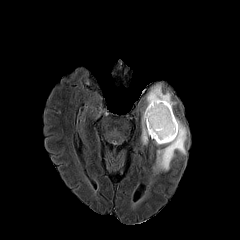
FLAIR MR image.
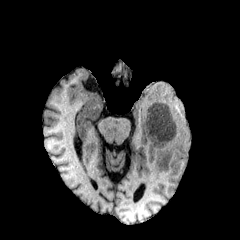
T1-weighted MRI.
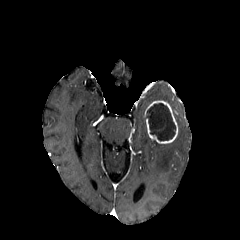
Same slice, post-contrast T1-weighted MRI.
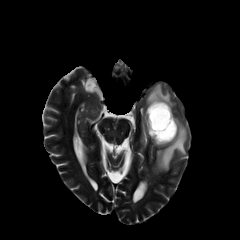
T2-weighted MRI of the same slice.
peritumoral edema at (left=153, top=117, right=187, bottom=173), (left=141, top=84, right=176, bottom=144)
enhancing tumor at (left=144, top=100, right=178, bottom=143)
necrotic tumor core at (left=145, top=103, right=175, bottom=140)